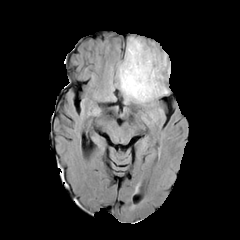
FLAIR MRI.
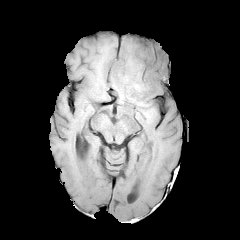
T1-weighted magnetic resonance.
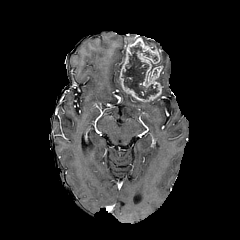
Same slice, post-contrast T1-weighted magnetic resonance.
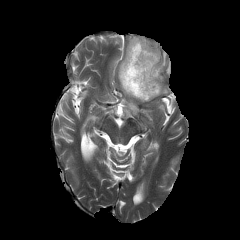
T2-weighted MR image.
Brain
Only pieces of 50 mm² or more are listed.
peritumoral edema at {"x1": 157, "y1": 52, "x2": 166, "y2": 69}, {"x1": 118, "y1": 62, "x2": 146, "y2": 102}
enhancing tumor at {"x1": 119, "y1": 36, "x2": 162, "y2": 101}
necrotic tumor core at {"x1": 122, "y1": 45, "x2": 158, "y2": 99}